Axial plane, Head
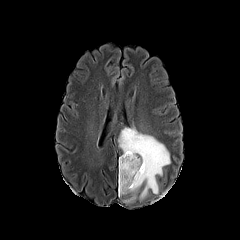
FLAIR MR.
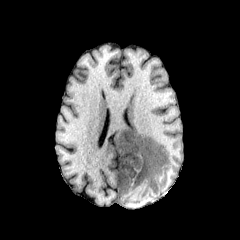
T1-weighted MR image.
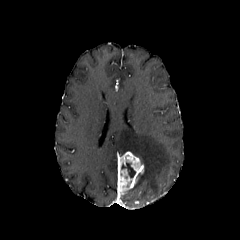
Post-contrast T1-weighted MR.
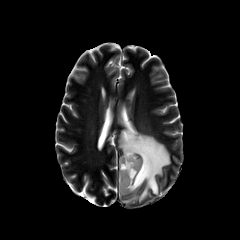
T2-weighted MR image of the same slice.
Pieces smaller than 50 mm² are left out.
The enhancing tumor is bounded by 118, 151, 144, 195. The peritumoral edema is bounded by 118, 127, 170, 199. The largest necrotic tumor core region is located at 121, 162, 135, 177.